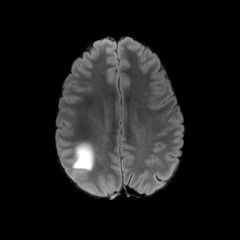
FLAIR MR image.
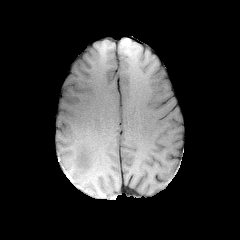
T1-weighted MR.
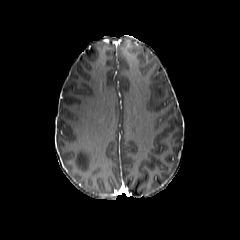
Post-contrast T1-weighted MR image of the same slice.
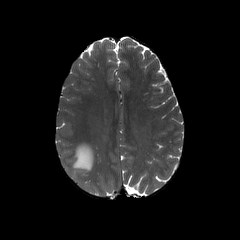
Same slice, T2-weighted magnetic resonance.
Axial plane. Head.
The peritumoral edema is bounded by [x1=71, y1=142, x2=94, y2=172].